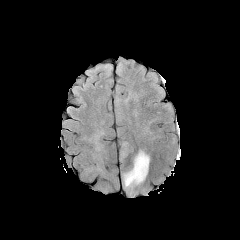
FLAIR magnetic resonance.
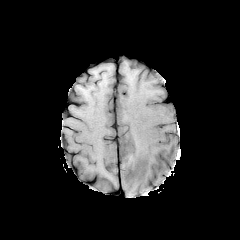
T1-weighted MR.
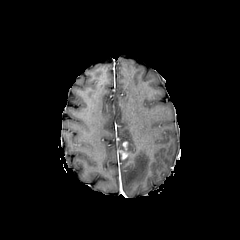
Same slice, post-contrast T1-weighted magnetic resonance.
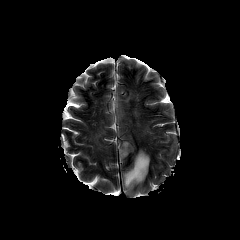
T2-weighted MRI.
Axial plane
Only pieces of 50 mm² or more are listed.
The enhancing tumor is bounded by 120 142 128 159. The largest peritumoral edema region is bounded by 122 149 150 195.